FLAIR MRI.
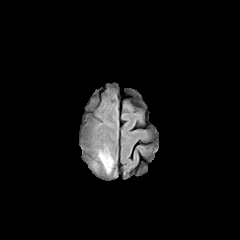
T1-weighted magnetic resonance.
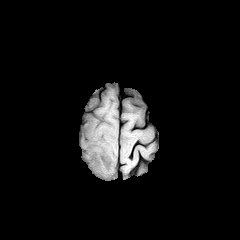
Post-contrast T1-weighted MR.
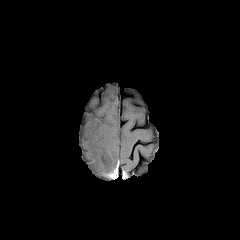
T2-weighted magnetic resonance.
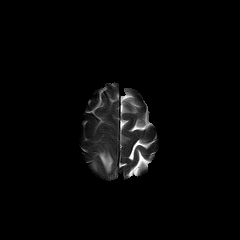
Image size 240x240 | Axial view | Head
{
  "peritumoral_edema": [
    "region(99, 153, 112, 171)"
  ]
}